Slice index 96 | Image size 240x240 | Image width 240 mm
FLAIR MR image.
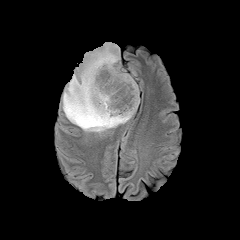
T1-weighted magnetic resonance.
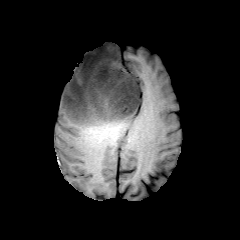
Post-contrast T1-weighted magnetic resonance.
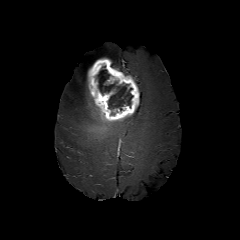
T2-weighted MR image.
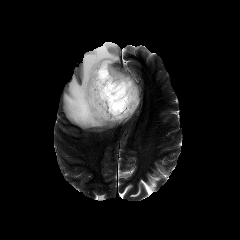
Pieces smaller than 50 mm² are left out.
necrotic tumor core: [97, 69, 132, 110] | peritumoral edema: [63, 43, 131, 132] | enhancing tumor: [87, 58, 139, 122]